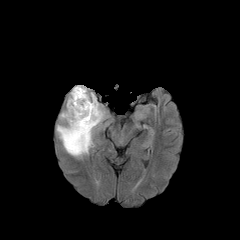
FLAIR magnetic resonance.
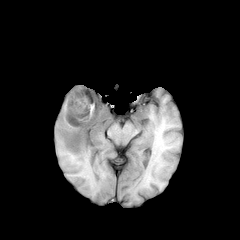
T1-weighted magnetic resonance.
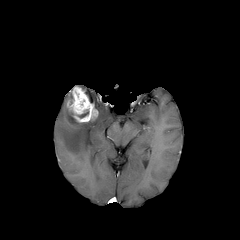
Post-contrast T1-weighted MRI.
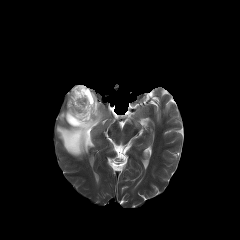
T2-weighted magnetic resonance.
Axial plane, 240x240 px
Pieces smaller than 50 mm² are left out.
necrotic_tumor_core:
  - bbox=[66, 112, 78, 124]
peritumoral_edema:
  - bbox=[56, 85, 106, 157]
enhancing_tumor:
  - bbox=[64, 86, 98, 128]